FLAIR MRI.
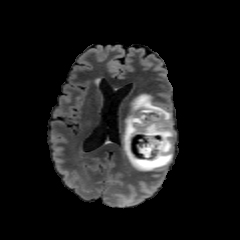
T1-weighted MR.
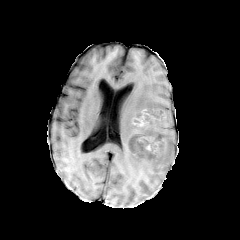
Post-contrast T1-weighted MR image.
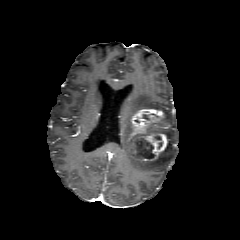
T2-weighted MRI.
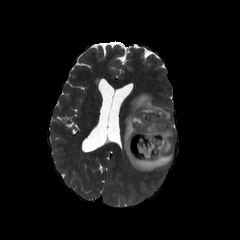
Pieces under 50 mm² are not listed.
The peritumoral edema is at [123,93,174,171]. The largest necrotic tumor core region is located at [131,121,164,159]. The largest enhancing tumor region is at [127,108,170,165].